Image covers 240 mm x 240 mm; Head
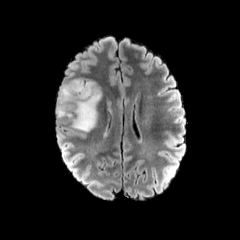
FLAIR magnetic resonance.
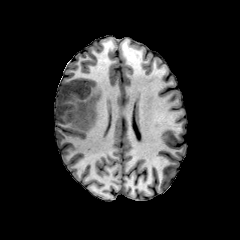
T1-weighted MRI of the same slice.
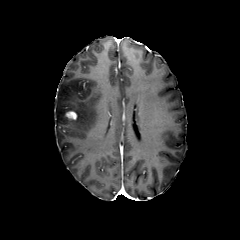
Same slice, post-contrast T1-weighted MR image.
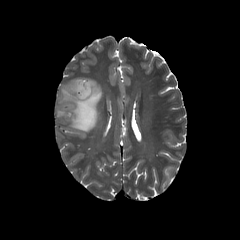
Same slice, T2-weighted MR image.
Segmented structures:
• enhancing tumor: x1=64 y1=110 x2=77 y2=120
• peritumoral edema: x1=56 y1=78 x2=101 y2=131